FLAIR MR.
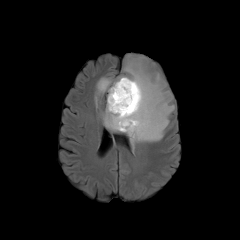
T1-weighted magnetic resonance.
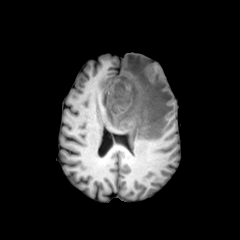
Post-contrast T1-weighted MRI.
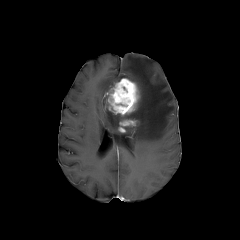
T2-weighted MRI.
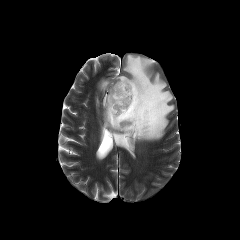
Head
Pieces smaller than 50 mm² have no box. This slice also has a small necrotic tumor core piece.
peritumoral edema = (97,55,174,148), (102,99,122,131)
enhancing tumor = (107,78,139,132)